FLAIR MR.
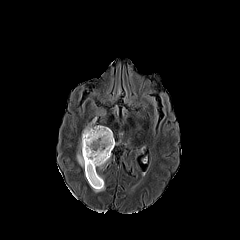
T1-weighted magnetic resonance.
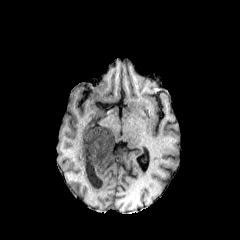
Post-contrast T1-weighted MRI.
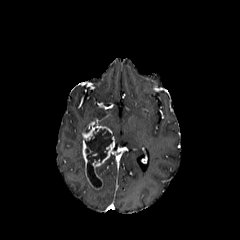
T2-weighted MRI.
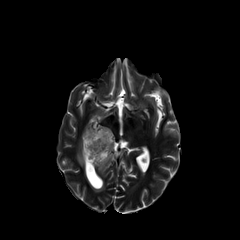
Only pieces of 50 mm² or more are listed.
{
  "necrotic_tumor_core": [
    "(85, 129, 112, 187)"
  ],
  "peritumoral_edema": [
    "(76, 137, 84, 168)"
  ],
  "enhancing_tumor": [
    "(82, 122, 114, 189)"
  ]
}